Brain. 240x240.
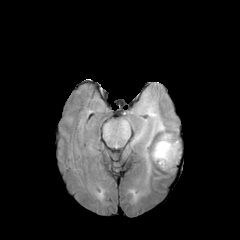
FLAIR MR image.
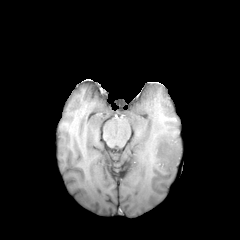
Same slice, T1-weighted MRI.
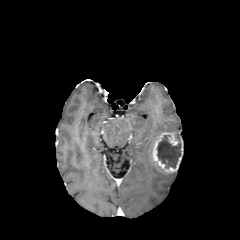
Post-contrast T1-weighted MR of the same slice.
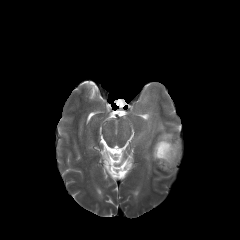
T2-weighted MR.
peritumoral edema: 131 94 167 174, 130 190 139 201, 169 123 178 139 | enhancing tumor: 152 132 183 172 | necrotic tumor core: 157 135 181 168